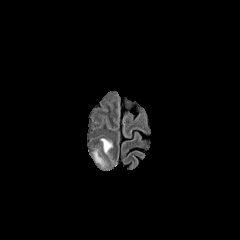
FLAIR MR image.
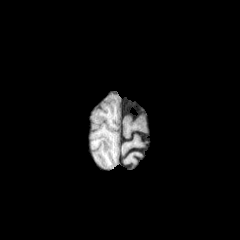
T1-weighted MRI.
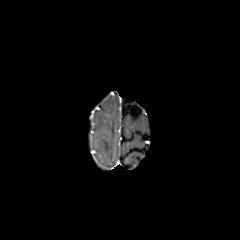
Post-contrast T1-weighted magnetic resonance.
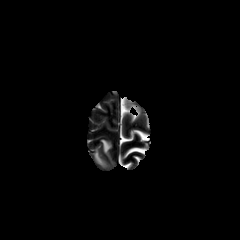
T2-weighted MRI.
Axial view
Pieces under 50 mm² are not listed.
Findings:
* peritumoral edema: [x1=101, y1=139, x2=112, y2=153]